Axial slice. Slice 109/155.
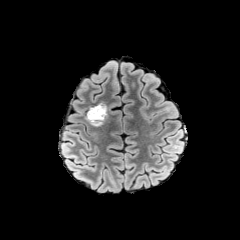
FLAIR MRI.
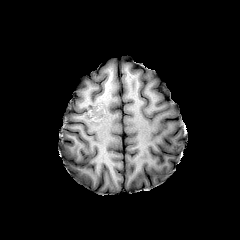
Same slice, T1-weighted MR image.
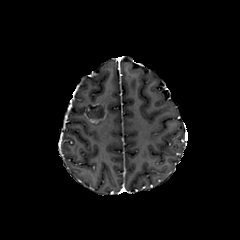
Same slice, post-contrast T1-weighted MR.
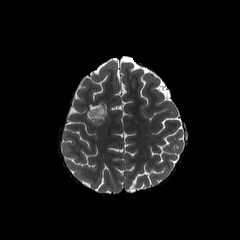
Same slice, T2-weighted magnetic resonance.
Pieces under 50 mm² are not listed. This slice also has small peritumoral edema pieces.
The largest enhancing tumor region appears at (85,104,107,123). The necrotic tumor core is located at (87,105,104,118).